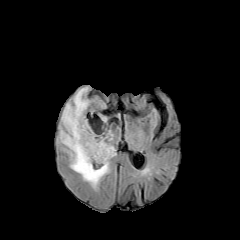
FLAIR MR.
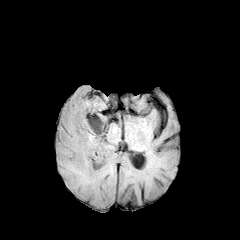
T1-weighted magnetic resonance.
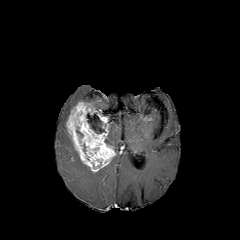
Post-contrast T1-weighted MR image.
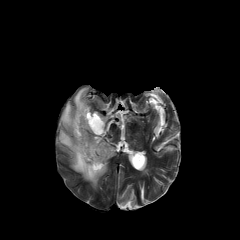
T2-weighted MR of the same slice.
Brain; Image size 240x240
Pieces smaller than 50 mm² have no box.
necrotic_tumor_core:
  - x1=87, y1=112, x2=104, y2=133
enhancing_tumor:
  - x1=66, y1=101, x2=115, y2=172
peritumoral_edema:
  - x1=57, y1=86, x2=109, y2=189